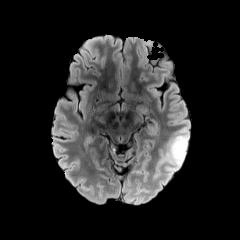
FLAIR MRI.
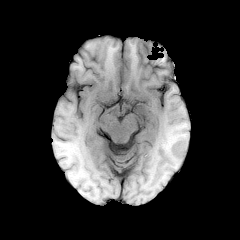
T1-weighted MR image.
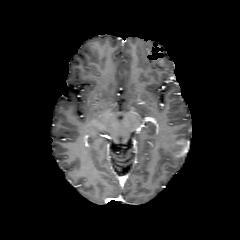
Post-contrast T1-weighted MR.
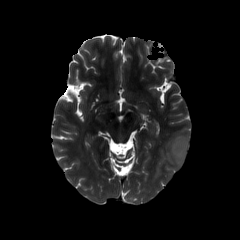
T2-weighted MRI.
Axial view | Brain
The enhancing tumor lies within box(171, 139, 188, 157). The peritumoral edema is bounded by box(158, 128, 189, 183). The necrotic tumor core lies within box(173, 145, 181, 152).